240x240 px
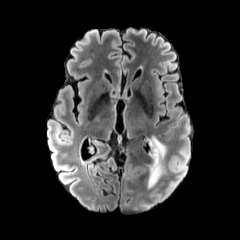
FLAIR MRI.
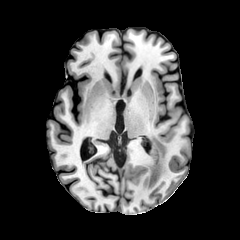
T1-weighted magnetic resonance of the same slice.
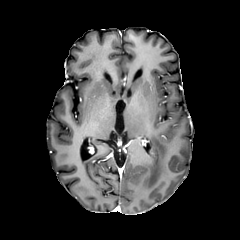
Same slice, post-contrast T1-weighted magnetic resonance.
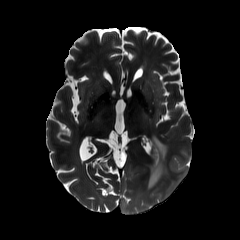
T2-weighted MR of the same slice.
The peritumoral edema is bounded by [148, 137, 166, 188].